FLAIR MRI.
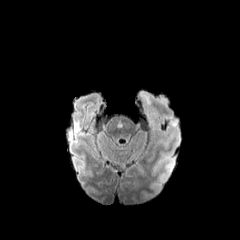
T1-weighted magnetic resonance.
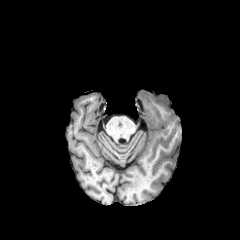
Post-contrast T1-weighted MR image.
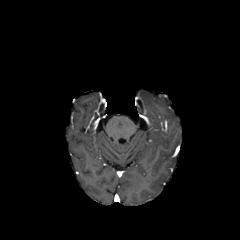
T2-weighted magnetic resonance.
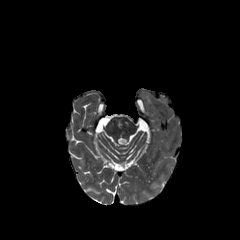
240x240 px; Axial plane; Head
<segmentation>
  <peritumoral_edema>138, 90, 168, 107</peritumoral_edema>
</segmentation>